240x240 px | Head
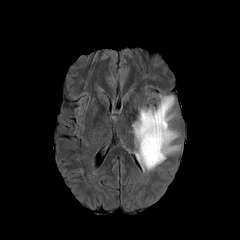
FLAIR MR.
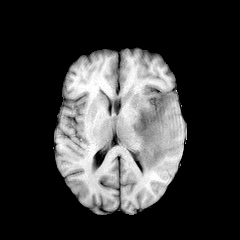
T1-weighted MR.
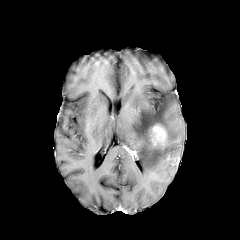
Post-contrast T1-weighted magnetic resonance of the same slice.
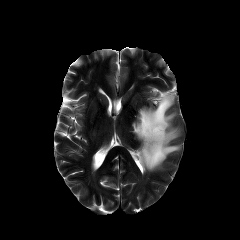
Same slice, T2-weighted MR.
Segmented structures:
* peritumoral edema: left=132, top=93, right=180, bottom=171
* enhancing tumor: left=149, top=124, right=166, bottom=146